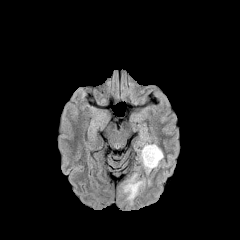
FLAIR MR image.
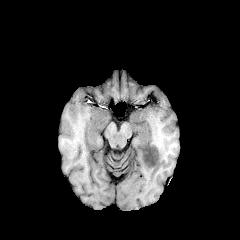
T1-weighted MR image.
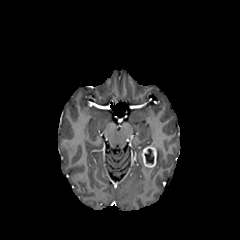
Post-contrast T1-weighted magnetic resonance.
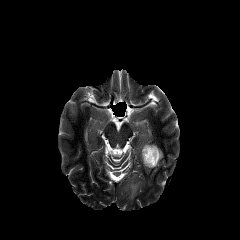
T2-weighted MRI.
Image size 240x240.
enhancing tumor: bounding box <box>142,145,157,167</box>
necrotic tumor core: bounding box <box>145,149,153,163</box>
peritumoral edema: bounding box <box>140,143,163,173</box>, <box>123,174,144,200</box>